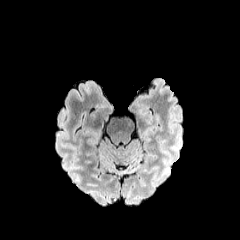
FLAIR MR.
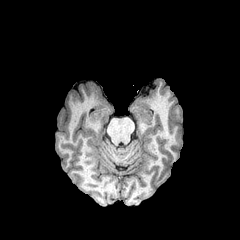
T1-weighted MR image.
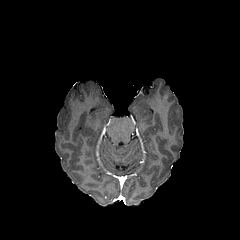
Post-contrast T1-weighted magnetic resonance of the same slice.
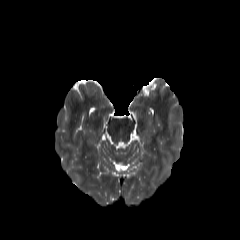
T2-weighted MR of the same slice.
Brain.
2 peritumoral edema regions appear at 163, 158, 171, 173; 172, 138, 180, 149.